Image width 240 mm | Slice index 63 | 240x240 | Brain
FLAIR MR.
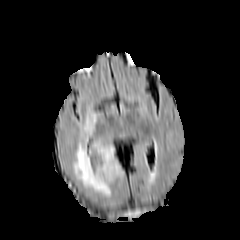
T1-weighted MR.
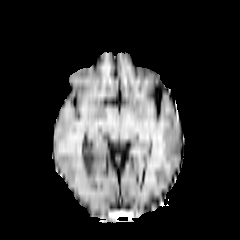
Post-contrast T1-weighted MRI.
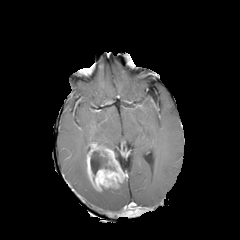
T2-weighted magnetic resonance.
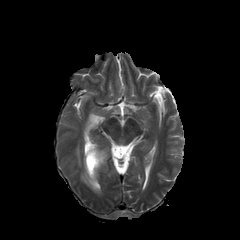
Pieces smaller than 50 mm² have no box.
- enhancing tumor: box=[86, 142, 125, 191]
- necrotic tumor core: box=[90, 154, 107, 174]
- peritumoral edema: box=[94, 141, 114, 150]; box=[73, 114, 110, 196]